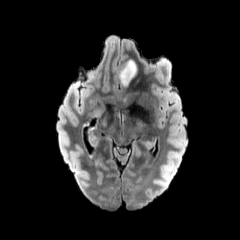
FLAIR MRI.
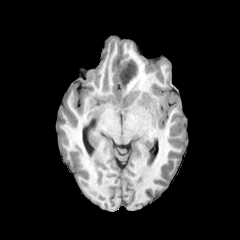
Same slice, T1-weighted MRI.
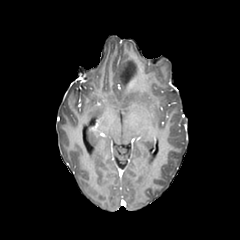
Post-contrast T1-weighted MRI.
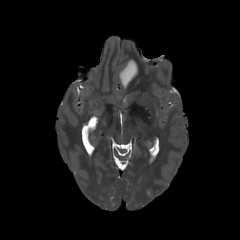
Same slice, T2-weighted MRI.
<segmentation>
  <peritumoral_edema>box(119, 59, 137, 84)</peritumoral_edema>
</segmentation>